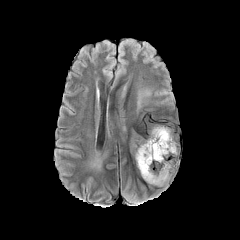
FLAIR MRI.
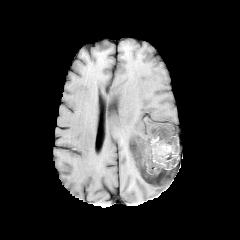
T1-weighted MR image.
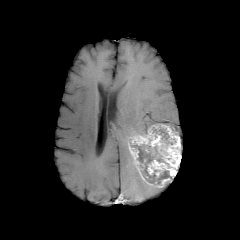
Post-contrast T1-weighted MR image.
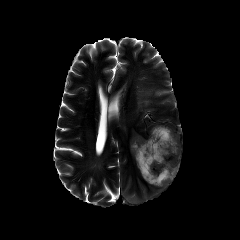
T2-weighted magnetic resonance.
240x240
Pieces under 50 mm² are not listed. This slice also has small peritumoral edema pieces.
- enhancing tumor: x1=129 y1=125 x2=180 y2=187
- necrotic tumor core: x1=157 y1=171 x2=169 y2=183, x1=132 y1=145 x2=157 y2=183, x1=159 y1=129 x2=168 y2=140